Head; Image size 240x240; Axial slice
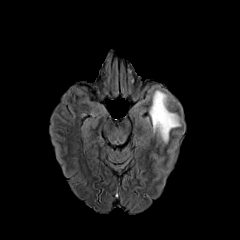
FLAIR MRI.
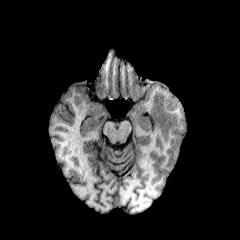
T1-weighted MR.
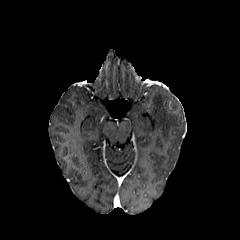
Post-contrast T1-weighted MR of the same slice.
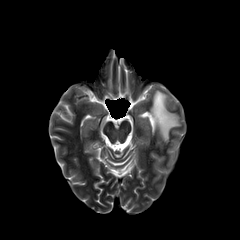
T2-weighted MR.
peritumoral edema at <bbox>149, 90, 180, 142</bbox>